Head | Slice 32 of 155
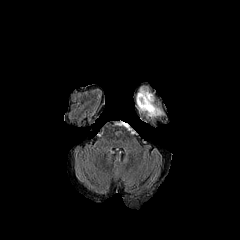
FLAIR MR image.
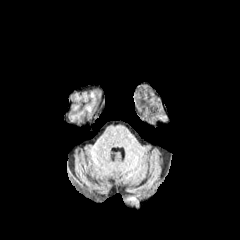
T1-weighted MR.
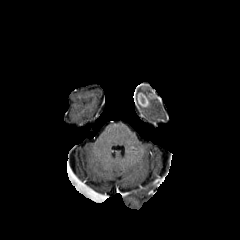
Post-contrast T1-weighted MR of the same slice.
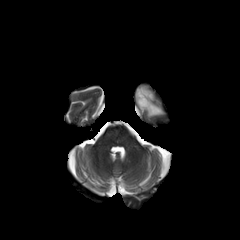
T2-weighted MR of the same slice.
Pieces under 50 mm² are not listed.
enhancing tumor = bbox(137, 92, 154, 107)
peritumoral edema = bbox(137, 99, 163, 117)